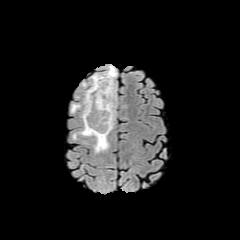
FLAIR magnetic resonance.
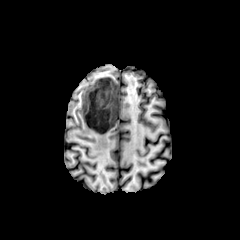
T1-weighted MR image.
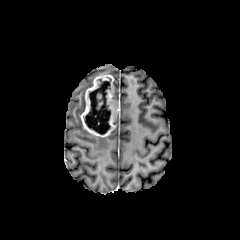
Post-contrast T1-weighted MRI.
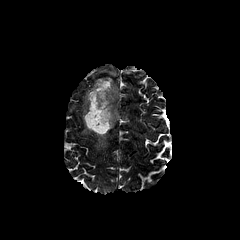
T2-weighted magnetic resonance.
Head
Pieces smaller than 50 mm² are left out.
peritumoral_edema:
  - left=71, top=104, right=80, bottom=112
  - left=73, top=127, right=109, bottom=152
  - left=103, top=65, right=117, bottom=98
enhancing_tumor:
  - left=80, top=75, right=119, bottom=137
necrotic_tumor_core:
  - left=85, top=78, right=111, bottom=134